Image covers 240 mm x 240 mm
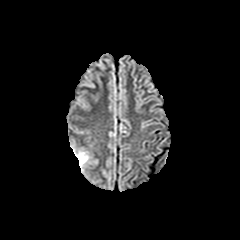
FLAIR MRI.
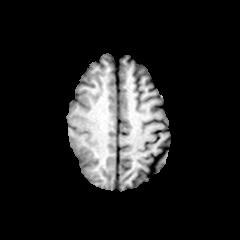
T1-weighted MRI.
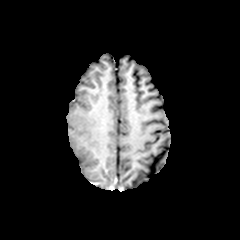
Post-contrast T1-weighted MR image.
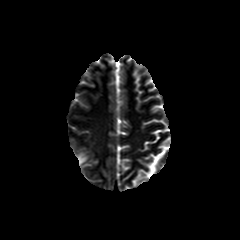
T2-weighted magnetic resonance of the same slice.
The peritumoral edema is at 75,152,87,165.